Brain. Axial view.
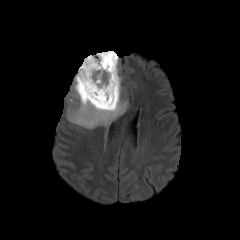
FLAIR MR.
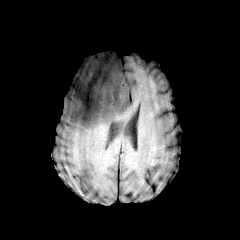
T1-weighted MR.
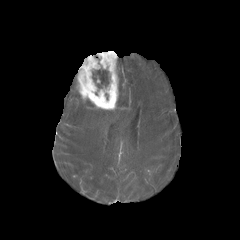
Post-contrast T1-weighted magnetic resonance.
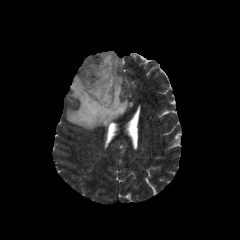
Same slice, T2-weighted MR.
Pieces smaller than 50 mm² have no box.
necrotic tumor core: bounding box x1=92 y1=68 x2=109 y2=88
enhancing tumor: bounding box x1=76 y1=51 x2=118 y2=109
peritumoral edema: bounding box x1=66 y1=57 x2=127 y2=129